Head, Image covers 240 mm x 240 mm
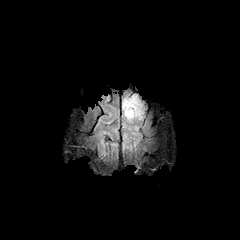
FLAIR MR.
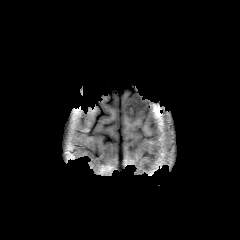
T1-weighted MRI.
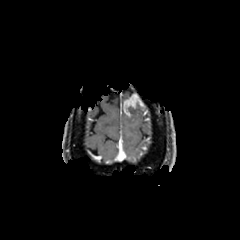
Post-contrast T1-weighted magnetic resonance of the same slice.
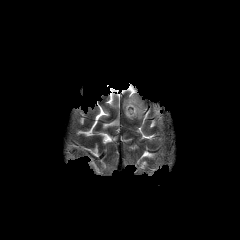
Same slice, T2-weighted magnetic resonance.
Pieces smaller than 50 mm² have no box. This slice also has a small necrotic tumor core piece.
enhancing tumor at <bbox>123, 94, 144, 116</bbox>
peritumoral edema at <bbox>125, 107, 143, 119</bbox>